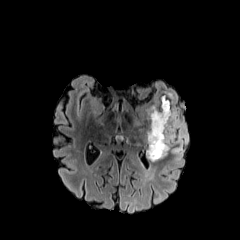
FLAIR MRI.
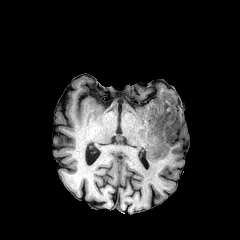
T1-weighted MR.
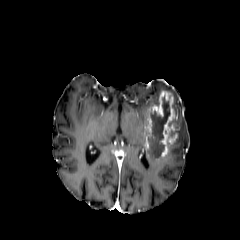
Post-contrast T1-weighted MR image.
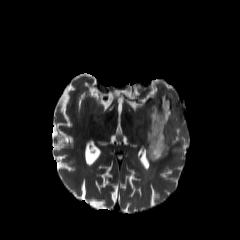
Same slice, T2-weighted MR image.
240x240 px | Brain | Axial plane
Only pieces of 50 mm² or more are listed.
necrotic_tumor_core:
  - [148, 97, 170, 158]
peritumoral_edema:
  - [147, 81, 188, 167]
enhancing_tumor:
  - [144, 90, 179, 161]